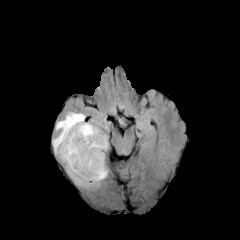
FLAIR MRI.
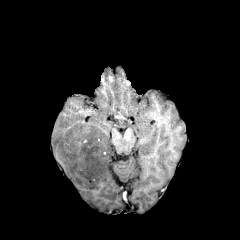
Same slice, T1-weighted MR image.
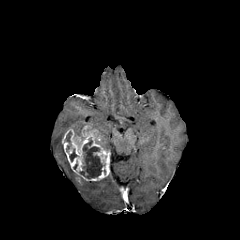
Post-contrast T1-weighted MRI.
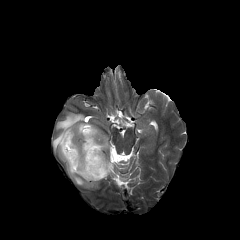
T2-weighted MR.
Axial view | Head
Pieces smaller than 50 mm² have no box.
necrotic tumor core = region(69, 149, 76, 161); region(79, 140, 102, 178)
enhancing tumor = region(61, 124, 109, 186)
peritumoral edema = region(52, 112, 109, 186); region(82, 180, 101, 188)